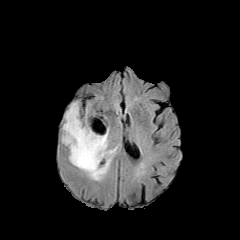
FLAIR magnetic resonance.
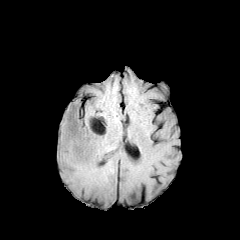
Same slice, T1-weighted MRI.
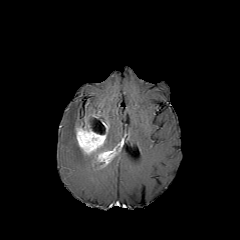
Post-contrast T1-weighted MR of the same slice.
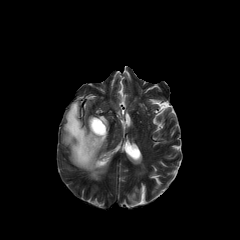
T2-weighted MR.
240x240. Head.
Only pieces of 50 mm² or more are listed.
The largest necrotic tumor core region is located at x1=88, y1=117, x2=105, y2=134. The 2 largest peritumoral edema regions are bounded by x1=100, y1=130, x2=112, y2=150; x1=62, y1=101, x2=111, y2=180. The largest enhancing tumor region lies within x1=75, y1=118, x2=116, y2=167.